Slice 62/155 | Head
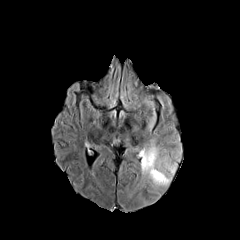
FLAIR MRI.
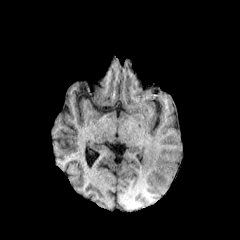
T1-weighted MR image.
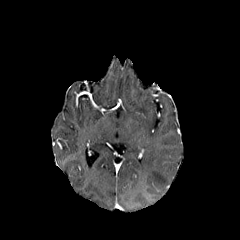
Post-contrast T1-weighted MR image of the same slice.
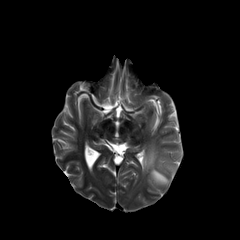
T2-weighted MR.
{"peritumoral_edema": ["[171,146,181,160]", "[140,141,176,187]"]}